Slice 71 of 155. Head. Image width 240 mm.
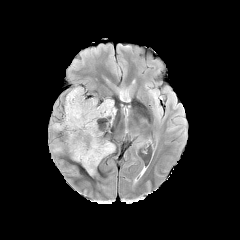
FLAIR magnetic resonance.
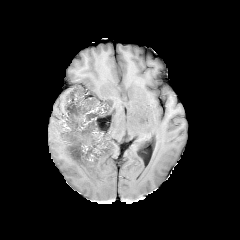
Same slice, T1-weighted MR image.
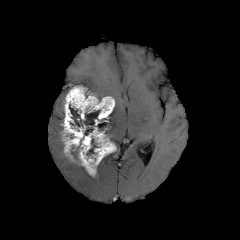
Post-contrast T1-weighted MRI of the same slice.
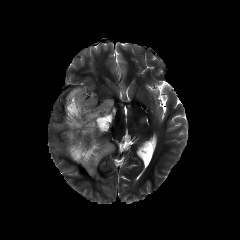
T2-weighted MR of the same slice.
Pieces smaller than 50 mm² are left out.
peritumoral edema — 109, 107, 115, 124; 52, 123, 63, 130; 53, 145, 63, 152
enhancing tumor — 61, 86, 115, 175
necrotic tumor core — 97, 118, 109, 130; 69, 104, 82, 126; 84, 110, 100, 125; 86, 139, 97, 155